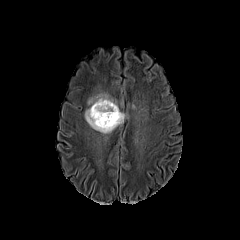
FLAIR MRI.
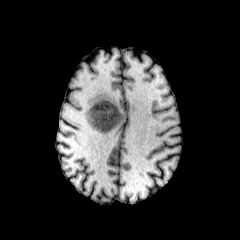
Same slice, T1-weighted magnetic resonance.
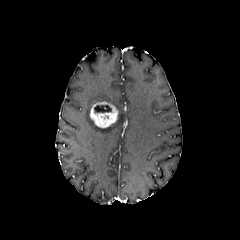
Post-contrast T1-weighted MRI of the same slice.
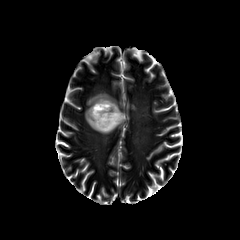
T2-weighted magnetic resonance.
240x240, Brain
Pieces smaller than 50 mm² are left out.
enhancing_tumor:
  - left=90, top=100, right=118, bottom=128
peritumoral_edema:
  - left=84, top=93, right=125, bottom=133
necrotic_tumor_core:
  - left=94, top=105, right=111, bottom=112